Image covers 240 mm x 240 mm | Head
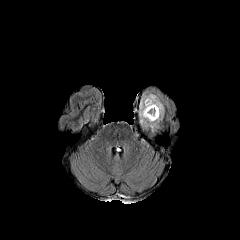
FLAIR MR image.
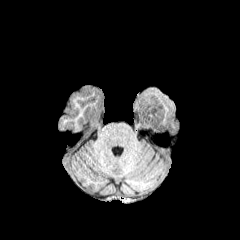
T1-weighted magnetic resonance.
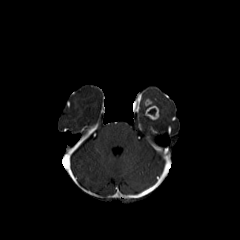
Same slice, post-contrast T1-weighted magnetic resonance.
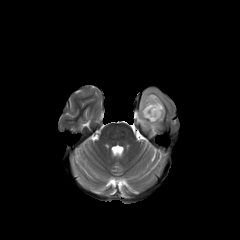
Same slice, T2-weighted MR image.
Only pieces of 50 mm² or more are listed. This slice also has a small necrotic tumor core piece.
The enhancing tumor is located at (x1=144, y1=99, x2=159, y2=120). The peritumoral edema appears at (x1=139, y1=91, x2=164, y2=128).